Image width 240 mm, 240x240
FLAIR magnetic resonance.
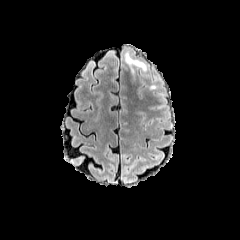
T1-weighted magnetic resonance.
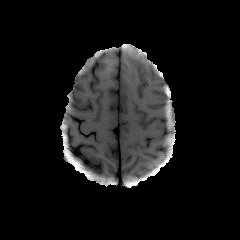
Post-contrast T1-weighted MR image.
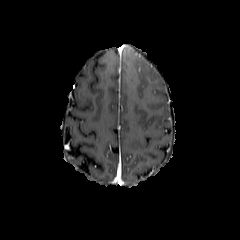
T2-weighted MR image.
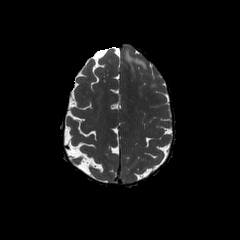
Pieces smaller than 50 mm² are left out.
* peritumoral edema: 125,51,146,77